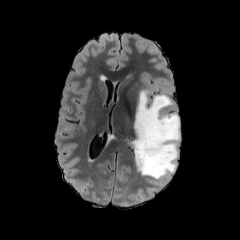
FLAIR MR image.
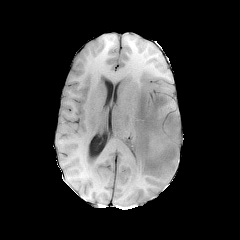
T1-weighted MRI.
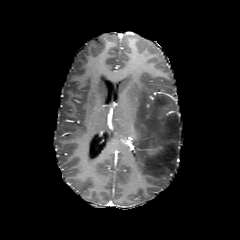
Same slice, post-contrast T1-weighted MRI.
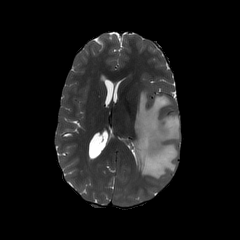
T2-weighted magnetic resonance.
Axial view; 240x240
{"peritumoral_edema": ["rect(133, 89, 180, 179)"], "enhancing_tumor": ["rect(147, 134, 162, 154)"]}